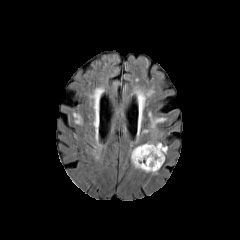
FLAIR MRI.
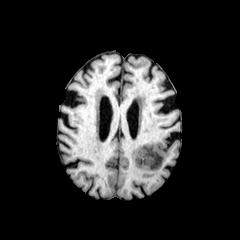
T1-weighted magnetic resonance of the same slice.
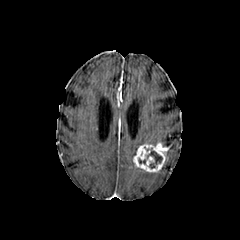
Same slice, post-contrast T1-weighted MR.
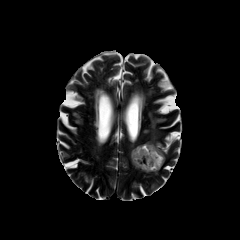
T2-weighted MR image.
Head
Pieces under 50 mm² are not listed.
necrotic tumor core = (x1=149, y1=151, x2=162, y2=168)
peritumoral edema = (x1=145, y1=134, x2=158, y2=144), (x1=130, y1=145, x2=143, y2=170), (x1=151, y1=117, x2=165, y2=128)
enhancing tumor = (x1=133, y1=142, x2=167, y2=172)